FLAIR MR image.
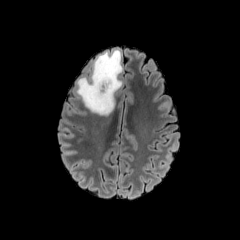
T1-weighted MR image.
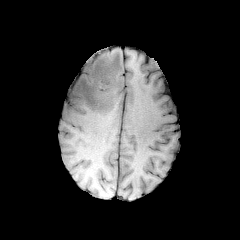
Post-contrast T1-weighted MRI.
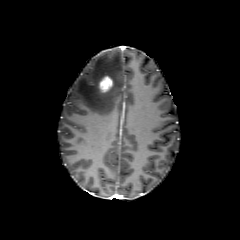
T2-weighted MR image.
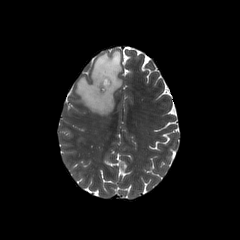
Brain.
The peritumoral edema is at region(71, 49, 122, 115). The enhancing tumor is bounded by region(98, 76, 113, 92).